FLAIR MR image.
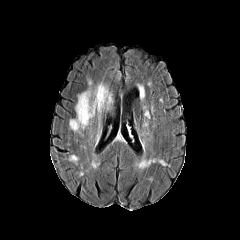
T1-weighted magnetic resonance.
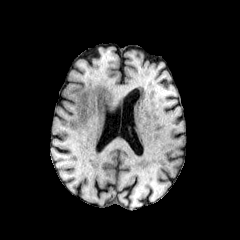
Post-contrast T1-weighted MRI.
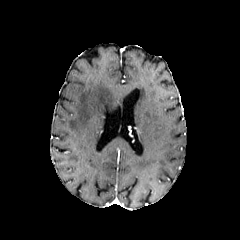
T2-weighted MR image.
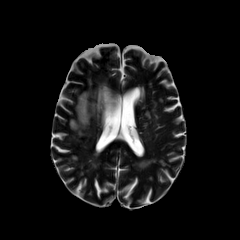
Brain, Axial view, 240x240
• peritumoral edema: [69, 78, 112, 134]